FLAIR magnetic resonance.
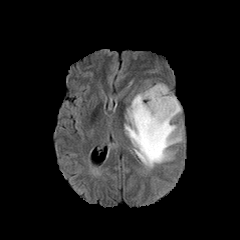
T1-weighted MR.
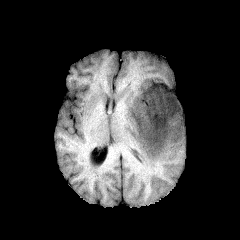
Post-contrast T1-weighted MR.
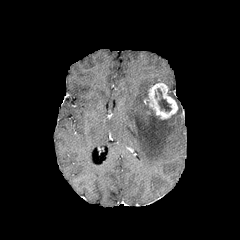
T2-weighted MR image.
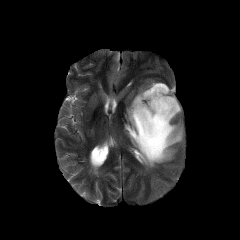
Head
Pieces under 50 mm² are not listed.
The largest necrotic tumor core region appears at [157,89,171,111]. The largest enhancing tumor region is bounded by [146,83,178,119]. The peritumoral edema appears at [124,85,182,168].